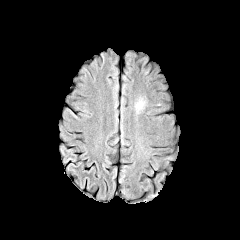
FLAIR magnetic resonance.
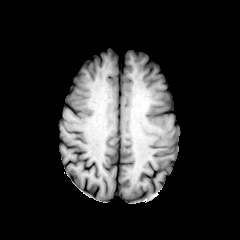
T1-weighted MR.
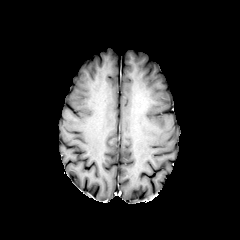
Post-contrast T1-weighted MRI.
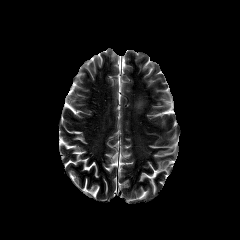
T2-weighted MRI.
240x240 px, Head
The peritumoral edema is bounded by [135, 101, 143, 109].